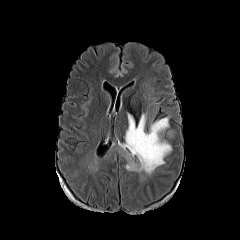
FLAIR magnetic resonance.
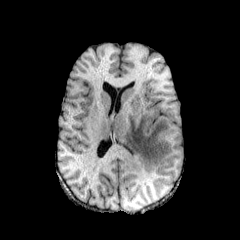
Same slice, T1-weighted MR image.
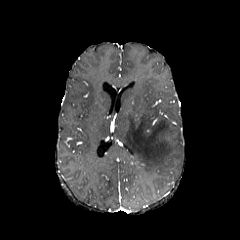
Post-contrast T1-weighted MR of the same slice.
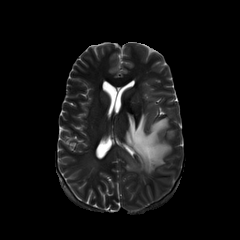
T2-weighted MR image.
240x240
peritumoral edema: bounding box <bbox>124, 114, 171, 174</bbox>